Brain
FLAIR magnetic resonance.
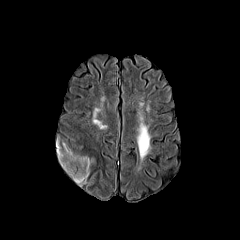
T1-weighted MR.
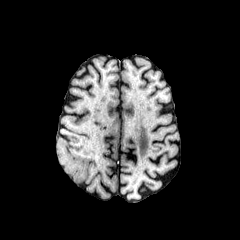
Post-contrast T1-weighted MRI.
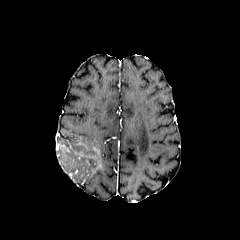
T2-weighted MR.
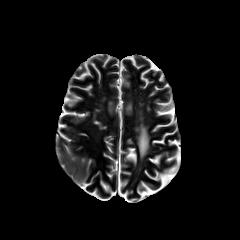
<segmentation>
  <peritumoral_edema>(left=56, top=140, right=93, bottom=185)</peritumoral_edema>
</segmentation>